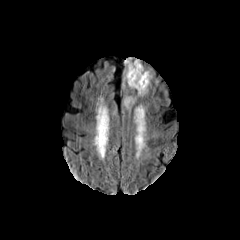
FLAIR MR image.
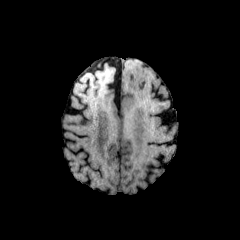
T1-weighted MR of the same slice.
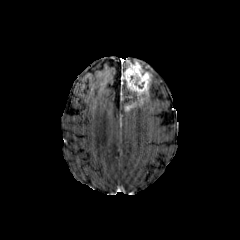
Post-contrast T1-weighted MR image.
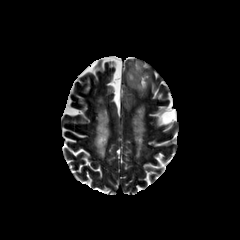
T2-weighted magnetic resonance of the same slice.
Axial plane
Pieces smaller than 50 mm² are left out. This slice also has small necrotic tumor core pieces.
peritumoral_edema:
  - [x1=137, y1=90, x2=148, y2=101]
  - [x1=124, y1=95, x2=135, y2=105]
enhancing_tumor:
  - [x1=123, y1=61, x2=150, y2=95]